FLAIR MR.
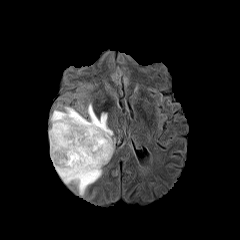
T1-weighted MRI.
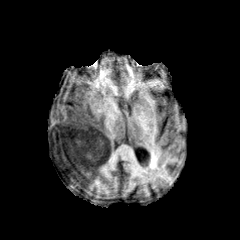
Post-contrast T1-weighted magnetic resonance.
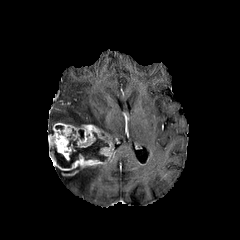
T2-weighted MRI.
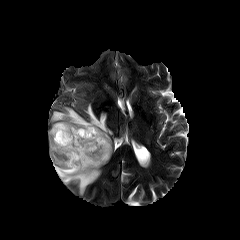
Axial plane
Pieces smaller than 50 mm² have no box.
necrotic tumor core = (50, 132, 108, 167)
peritumoral edema = (55, 165, 103, 195), (49, 103, 113, 138)
enhancing tumor = (48, 122, 113, 170)